FLAIR MRI.
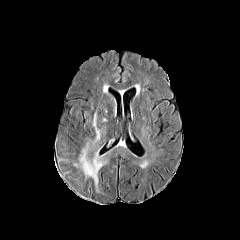
T1-weighted MR.
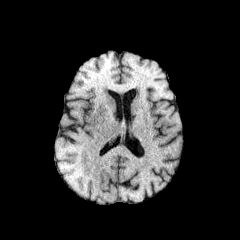
Post-contrast T1-weighted MRI.
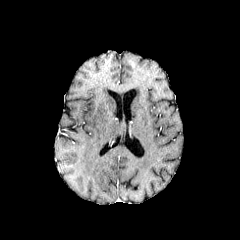
T2-weighted magnetic resonance.
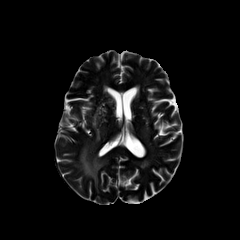
Axial plane; Brain
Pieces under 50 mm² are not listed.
peritumoral_edema:
  - (left=79, top=145, right=105, bottom=187)
  - (left=93, top=113, right=100, bottom=141)